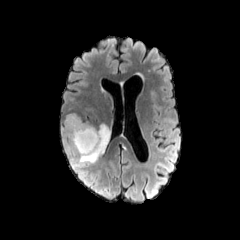
FLAIR MR image.
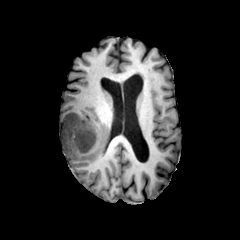
T1-weighted magnetic resonance of the same slice.
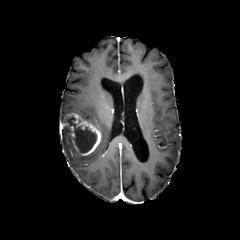
Same slice, post-contrast T1-weighted MR image.
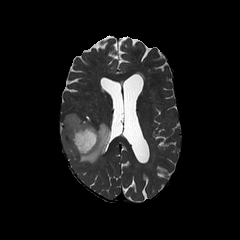
T2-weighted MR.
Axial view
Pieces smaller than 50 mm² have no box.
* enhancing tumor: left=60, top=112, right=101, bottom=155
* peritumoral edema: left=62, top=123, right=112, bottom=167
* necrotic tumor core: left=65, top=115, right=96, bottom=153